Slice 90 of 155 | Head | 240x240
FLAIR MR.
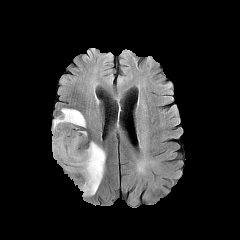
T1-weighted MRI.
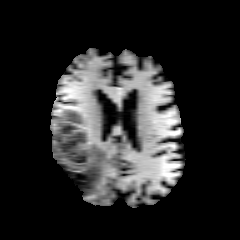
Post-contrast T1-weighted MR.
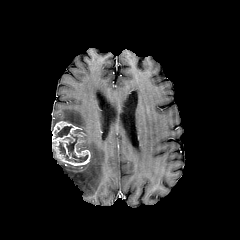
T2-weighted MR image.
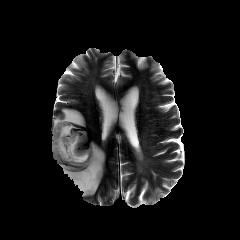
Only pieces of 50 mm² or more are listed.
Findings:
- peritumoral edema: box=[52, 108, 85, 129]; box=[63, 141, 105, 196]
- necrotic tumor core: box=[65, 135, 87, 162]; box=[59, 142, 65, 154]; box=[56, 126, 71, 137]
- enhancing tumor: box=[52, 121, 90, 165]